240x240, Brain
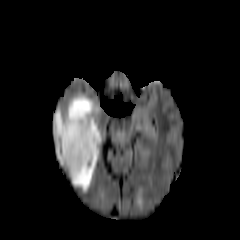
FLAIR MR.
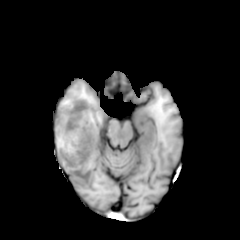
T1-weighted MRI.
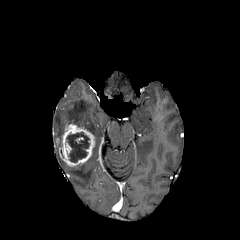
Post-contrast T1-weighted MR image of the same slice.
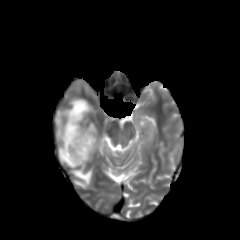
Same slice, T2-weighted MR.
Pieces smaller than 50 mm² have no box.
The largest necrotic tumor core region is located at rect(65, 132, 90, 162). The peritumoral edema is bounded by rect(52, 94, 101, 192). The largest enhancing tumor region is at rect(59, 123, 95, 166).